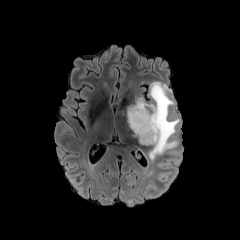
FLAIR MR.
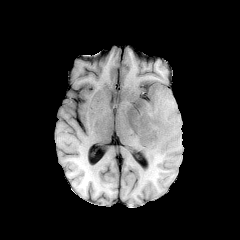
T1-weighted MR of the same slice.
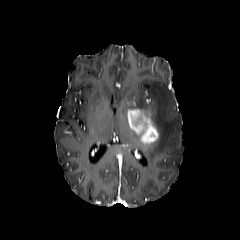
Post-contrast T1-weighted magnetic resonance of the same slice.
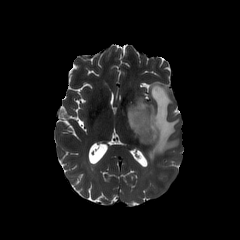
Same slice, T2-weighted magnetic resonance.
Axial view.
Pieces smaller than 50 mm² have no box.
The largest peritumoral edema region is bounded by x1=128, y1=81, x2=179, y2=159. The enhancing tumor is at x1=127, y1=108, x2=160, y2=145.